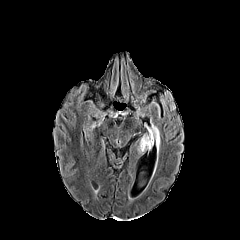
FLAIR MRI.
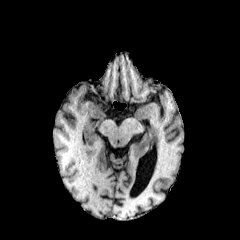
T1-weighted MR image of the same slice.
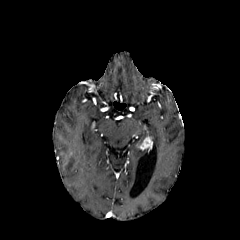
Post-contrast T1-weighted MR of the same slice.
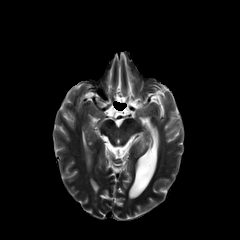
Same slice, T2-weighted MR.
Head | 240x240
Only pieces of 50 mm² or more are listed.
{
  "enhancing_tumor": [
    "138, 136, 152, 150"
  ],
  "peritumoral_edema": [
    "149, 125, 159, 150"
  ]
}